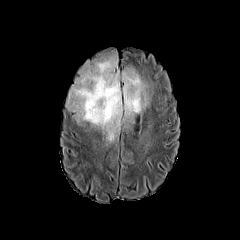
FLAIR magnetic resonance.
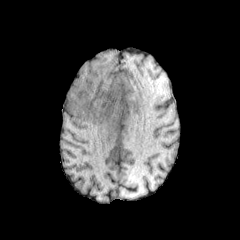
T1-weighted MR.
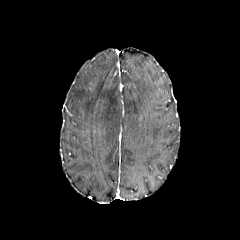
Post-contrast T1-weighted magnetic resonance.
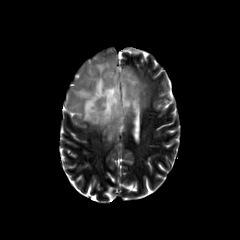
T2-weighted magnetic resonance.
240x240 px; Brain
Segmented structures:
* peritumoral edema: (left=66, top=58, right=150, bottom=141)